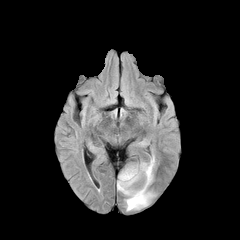
FLAIR magnetic resonance.
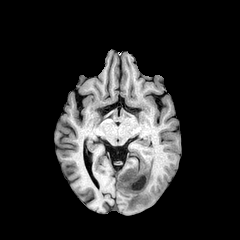
Same slice, T1-weighted MR image.
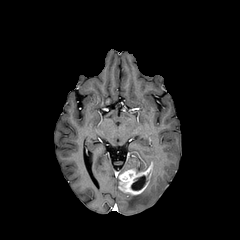
Same slice, post-contrast T1-weighted magnetic resonance.
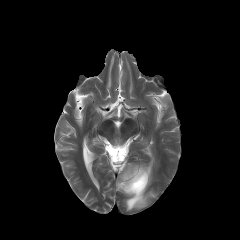
T2-weighted MRI.
Brain
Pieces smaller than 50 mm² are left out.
necrotic tumor core = 131,175,146,190
peritumoral edema = 122,188,155,210; 125,156,155,169
enhancing tumor = 118,163,152,195